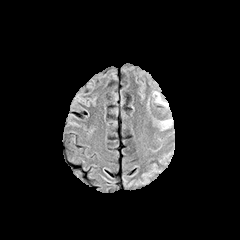
FLAIR MR.
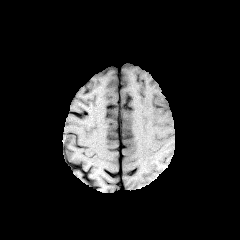
T1-weighted MRI.
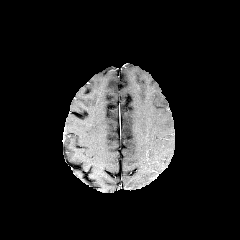
Post-contrast T1-weighted MR image.
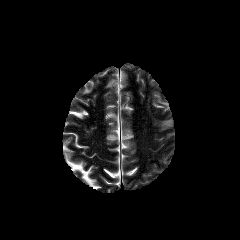
T2-weighted MRI of the same slice.
Axial plane | Head | Image size 240x240
peritumoral_edema:
  - l=146, t=98, r=172, b=130
  - l=153, t=91, r=168, b=106